Slice 136 of 155, Image width 240 mm, Axial view, Brain
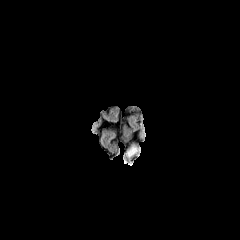
FLAIR MR image.
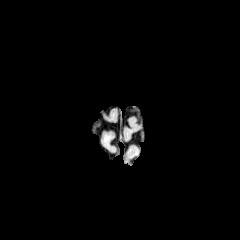
T1-weighted MR image.
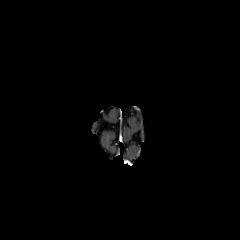
Same slice, post-contrast T1-weighted magnetic resonance.
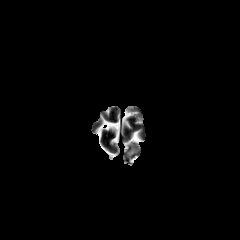
Same slice, T2-weighted MR.
{
  "peritumoral_edema": [
    "x1=126, y1=145, x2=138, y2=157"
  ]
}